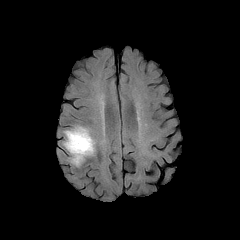
FLAIR MR.
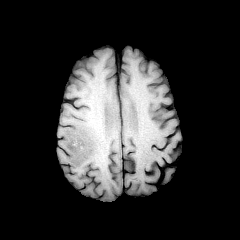
T1-weighted MR image.
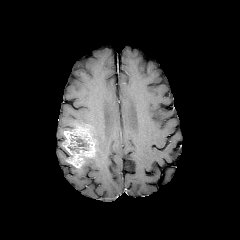
Post-contrast T1-weighted MR of the same slice.
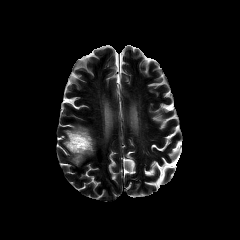
T2-weighted magnetic resonance of the same slice.
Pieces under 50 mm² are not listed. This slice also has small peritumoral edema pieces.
necrotic_tumor_core:
  - <box>68,136,88,153</box>
enhancing_tumor:
  - <box>62,125,95,167</box>